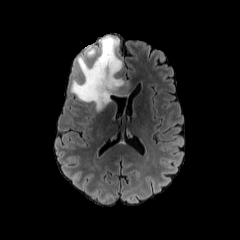
FLAIR MRI.
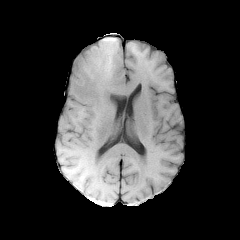
T1-weighted MR of the same slice.
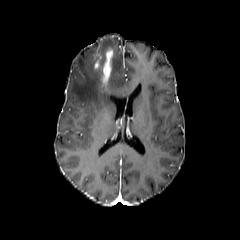
Same slice, post-contrast T1-weighted MR.
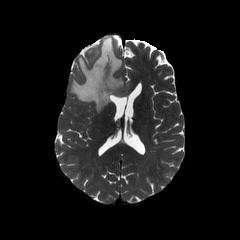
T2-weighted MR image of the same slice.
The peritumoral edema appears at bbox(70, 36, 130, 111). The enhancing tumor is bounded by bbox(94, 48, 113, 89).